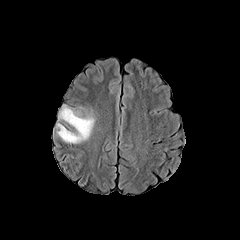
FLAIR MR.
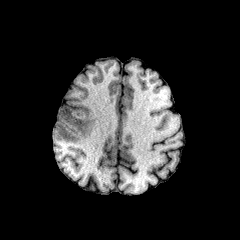
T1-weighted MR of the same slice.
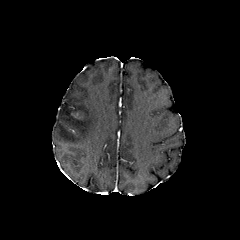
Post-contrast T1-weighted MRI.
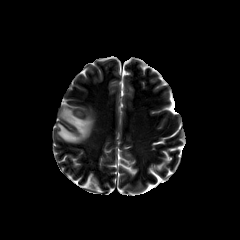
T2-weighted MR image.
Head
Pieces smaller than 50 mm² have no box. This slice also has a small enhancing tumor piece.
peritumoral edema = x1=56 y1=105 x2=94 y2=143